FLAIR MR image.
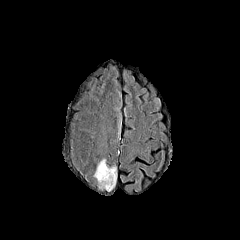
T1-weighted magnetic resonance.
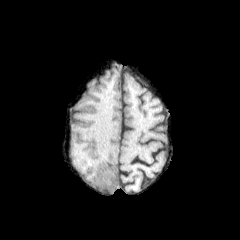
Post-contrast T1-weighted MR image.
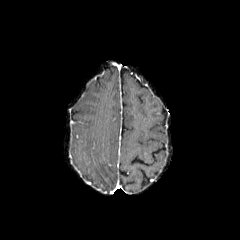
T2-weighted MR.
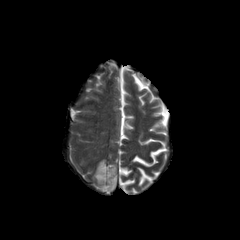
Brain. Axial view.
Annotated regions:
- peritumoral edema: region(93, 158, 117, 191)